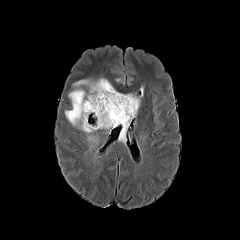
FLAIR MR image.
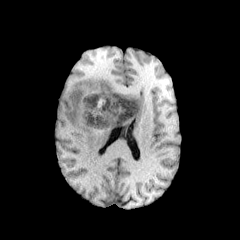
T1-weighted magnetic resonance.
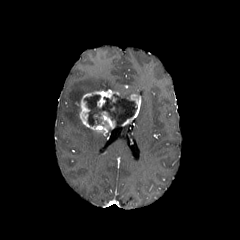
Post-contrast T1-weighted MR.
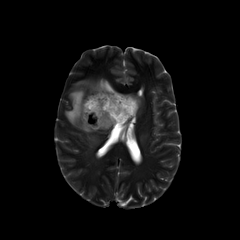
Same slice, T2-weighted MRI.
Brain
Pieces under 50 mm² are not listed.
* enhancing tumor: (x1=121, y1=94, x2=141, y2=126), (x1=77, y1=89, x2=124, y2=132)
* necrotic tumor core: (x1=84, y1=94, x2=136, y2=126)
* peritumoral edema: (x1=65, y1=78, x2=115, y2=144)